FLAIR MRI.
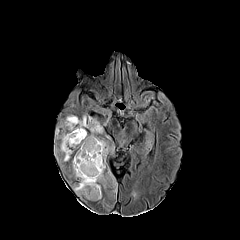
T1-weighted MR image.
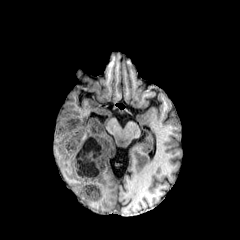
Post-contrast T1-weighted magnetic resonance.
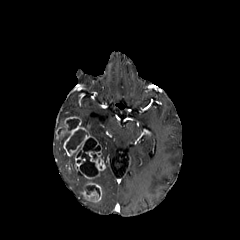
T2-weighted MR.
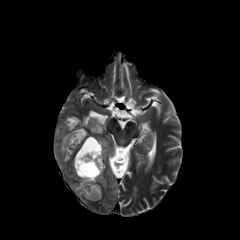
Brain
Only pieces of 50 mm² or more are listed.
enhancing tumor: bbox(56, 116, 99, 171); bbox(81, 145, 105, 179); bbox(80, 182, 102, 201)
necrotic tumor core: bbox(85, 185, 100, 196); bbox(66, 129, 86, 152); bbox(66, 119, 78, 130); bbox(76, 138, 100, 176)
peritumoral edema: bbox(96, 138, 109, 164); bbox(108, 168, 117, 193); bbox(81, 114, 103, 136); bbox(72, 158, 107, 195); bbox(59, 133, 68, 152)